Slice 41/155 | Brain
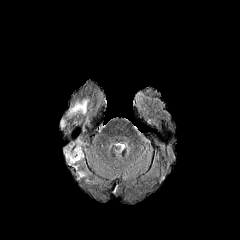
FLAIR MRI.
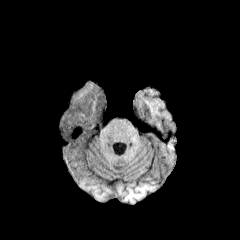
T1-weighted MR image.
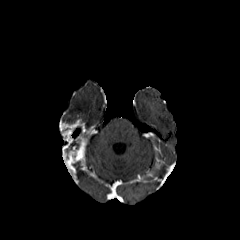
Post-contrast T1-weighted MR of the same slice.
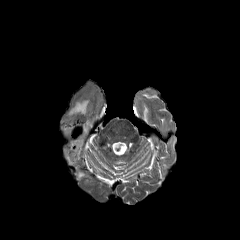
T2-weighted magnetic resonance.
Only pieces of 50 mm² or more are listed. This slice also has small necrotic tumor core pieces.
enhancing tumor at 62 120 85 164
peritumoral edema at 69 100 88 114